Image size 240x240; Axial slice; Head; Slice 75 of 155
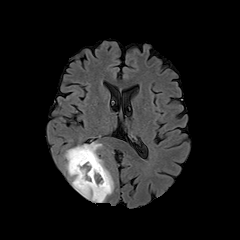
FLAIR MRI.
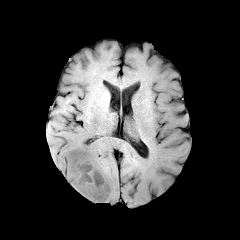
T1-weighted MR image of the same slice.
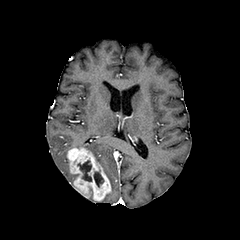
Same slice, post-contrast T1-weighted MR.
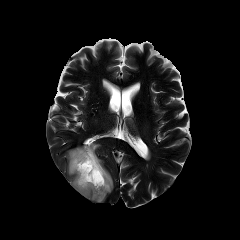
T2-weighted MRI.
The enhancing tumor lies within <bbox>67, 148, 111, 201</bbox>. 2 peritumoral edema regions are bounded by <bbox>64, 150, 78, 185</bbox>, <bbox>74, 142, 113, 202</bbox>. 2 necrotic tumor core regions are bounded by <bbox>93, 171, 103, 187</bbox>, <bbox>77, 160, 91, 181</bbox>.